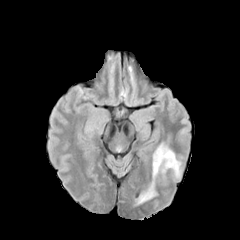
FLAIR MRI.
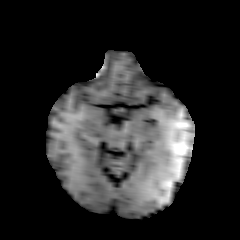
T1-weighted magnetic resonance.
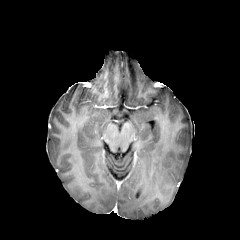
Same slice, post-contrast T1-weighted MR image.
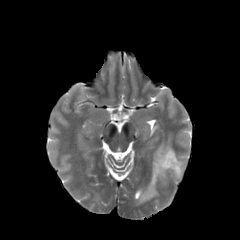
T2-weighted MR image.
The peritumoral edema appears at box=[134, 143, 180, 206].